Image covers 240 mm x 240 mm | Slice index 109
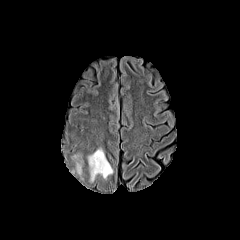
FLAIR MR.
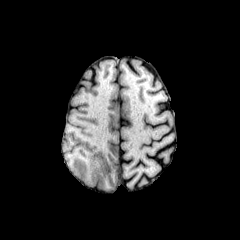
Same slice, T1-weighted magnetic resonance.
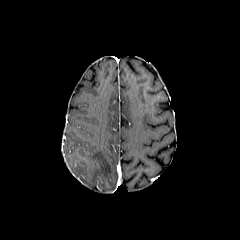
Post-contrast T1-weighted MR of the same slice.
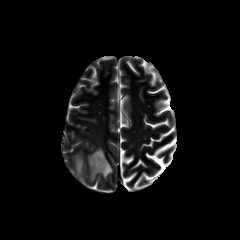
Same slice, T2-weighted MR.
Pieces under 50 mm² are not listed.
peritumoral edema: bounding box x1=88 y1=148 x2=113 y2=181, x1=76 y1=161 x2=81 y2=173